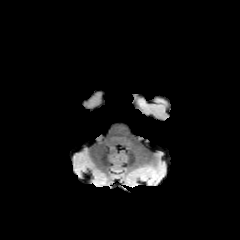
FLAIR magnetic resonance.
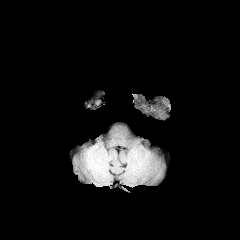
T1-weighted magnetic resonance.
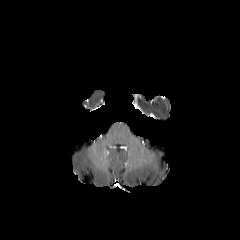
Post-contrast T1-weighted MR image.
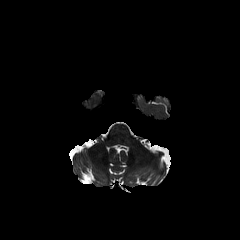
T2-weighted MR of the same slice.
Axial view | Head
peritumoral edema: (138,100,154,110)